Head
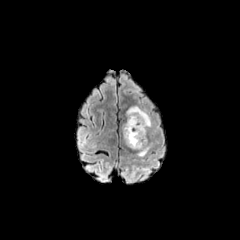
FLAIR magnetic resonance.
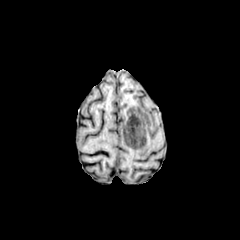
T1-weighted MRI.
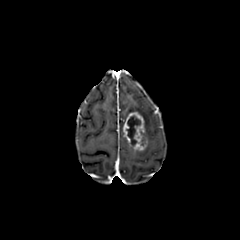
Post-contrast T1-weighted MRI.
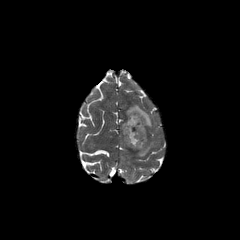
T2-weighted MR image.
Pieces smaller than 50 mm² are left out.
The 2 largest peritumoral edema regions are bounded by left=137, top=144, right=151, bottom=156; left=126, top=105, right=151, bottom=137. The necrotic tumor core lies within left=126, top=116, right=140, bottom=145. The enhancing tumor lies within left=123, top=111, right=147, bottom=150.